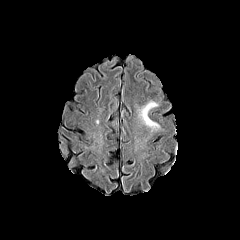
FLAIR MR image.
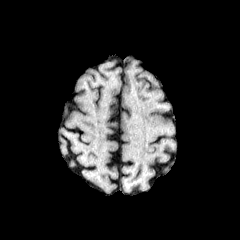
T1-weighted MR.
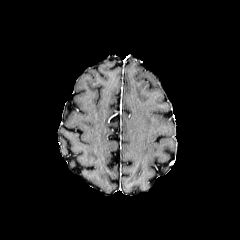
Post-contrast T1-weighted MR.
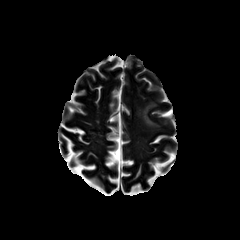
Same slice, T2-weighted MR image.
Axial view, Brain, 240x240 px
peritumoral_edema:
  - (left=139, top=102, right=158, bottom=127)